Image covers 240 mm x 240 mm. Axial slice.
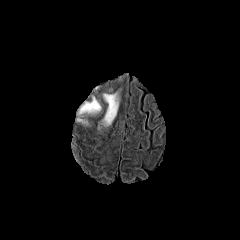
FLAIR MR image.
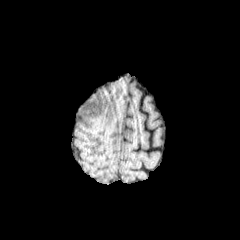
T1-weighted MR image.
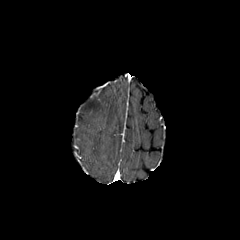
Same slice, post-contrast T1-weighted magnetic resonance.
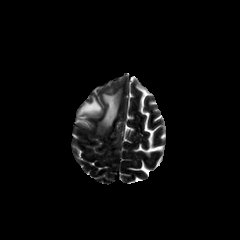
Same slice, T2-weighted magnetic resonance.
3 peritumoral edema regions are located at box(77, 118, 88, 125); box(77, 94, 101, 115); box(98, 88, 121, 130).